Axial plane | Brain
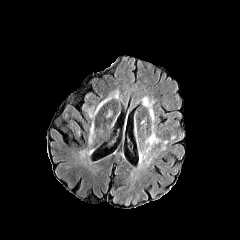
FLAIR MR.
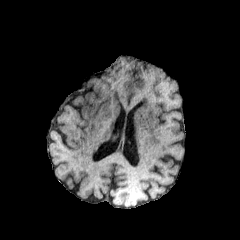
T1-weighted MR image.
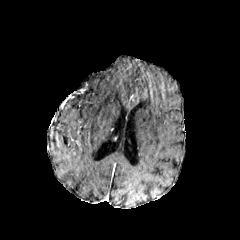
Post-contrast T1-weighted MR image of the same slice.
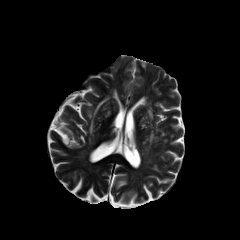
T2-weighted MR of the same slice.
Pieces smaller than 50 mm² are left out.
<segmentation>
  <peritumoral_edema>l=89, t=96, r=111, b=118; l=89, t=121, r=94, b=142</peritumoral_edema>
</segmentation>